FLAIR magnetic resonance.
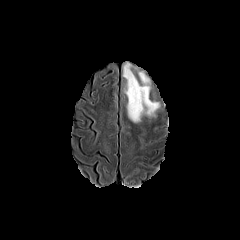
T1-weighted MR.
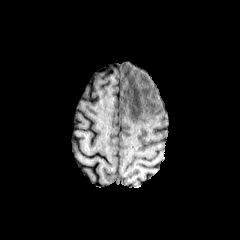
Post-contrast T1-weighted magnetic resonance.
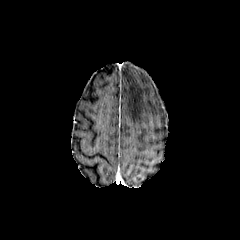
T2-weighted MR image.
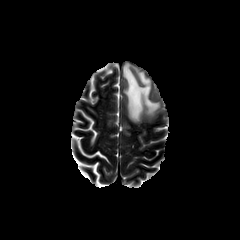
240x240
Annotated regions:
- peritumoral edema: {"x1": 123, "y1": 63, "x2": 159, "y2": 122}